Brain. Axial plane.
FLAIR magnetic resonance.
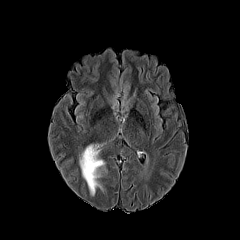
T1-weighted MR.
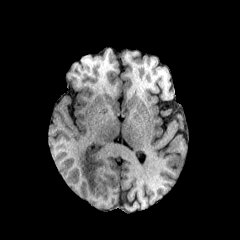
Post-contrast T1-weighted MRI.
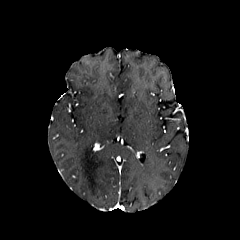
T2-weighted MR image.
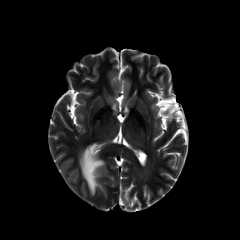
Annotated regions:
- peritumoral edema: left=79, top=145, right=104, bottom=195